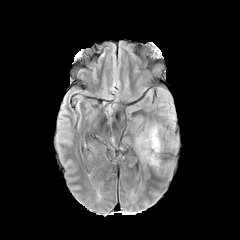
FLAIR MR image.
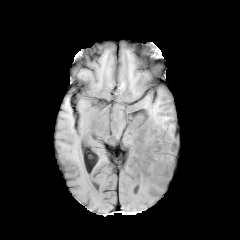
T1-weighted magnetic resonance.
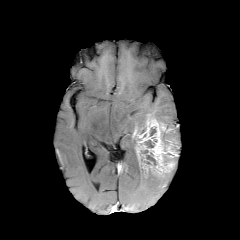
Same slice, post-contrast T1-weighted MR image.
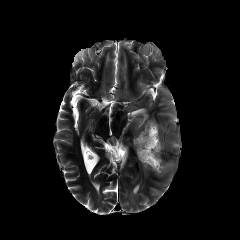
T2-weighted magnetic resonance.
240x240; Axial view
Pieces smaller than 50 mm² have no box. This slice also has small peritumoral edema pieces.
The 2 largest necrotic tumor core regions are bounded by {"x1": 146, "y1": 155, "x2": 156, "y2": 165}, {"x1": 145, "y1": 140, "x2": 153, "y2": 147}. The enhancing tumor lies within {"x1": 133, "y1": 119, "x2": 178, "y2": 174}.